FLAIR MR.
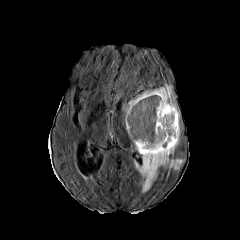
T1-weighted MR image.
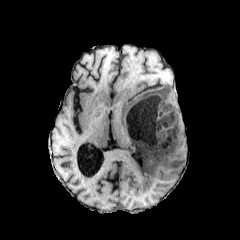
Post-contrast T1-weighted MR.
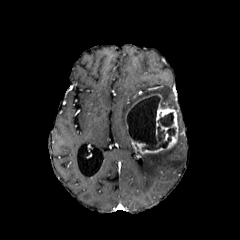
T2-weighted MR image.
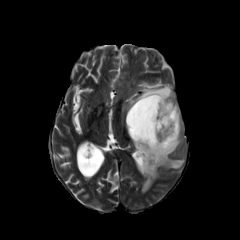
240x240 px | Head | Axial plane
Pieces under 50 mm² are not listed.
{"necrotic_tumor_core": ["x1=126 y1=95 x2=176 y2=150"], "enhancing_tumor": ["x1=130 y1=94 x2=178 y2=154"], "peritumoral_edema": ["x1=134 y1=112 x2=184 y2=192", "x1=122 y1=84 x2=176 y2=113"]}